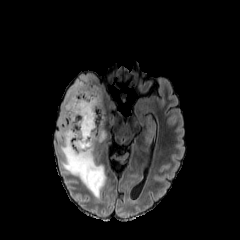
FLAIR MR.
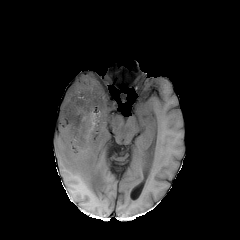
T1-weighted magnetic resonance.
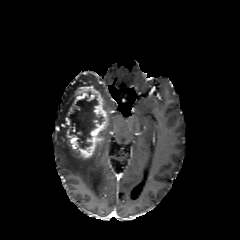
Same slice, post-contrast T1-weighted MRI.
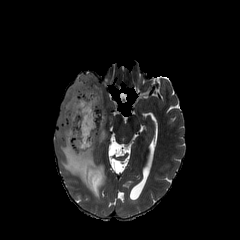
T2-weighted magnetic resonance.
Axial view | 240x240
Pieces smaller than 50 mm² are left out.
<segmentation>
  <enhancing_tumor>{"x1": 67, "y1": 86, "x2": 108, "y2": 158}</enhancing_tumor>
  <peritumoral_edema>{"x1": 56, "y1": 74, "x2": 105, "y2": 198}</peritumoral_edema>
  <necrotic_tumor_core>{"x1": 70, "y1": 97, "x2": 102, "y2": 148}</necrotic_tumor_core>
</segmentation>